FLAIR MRI.
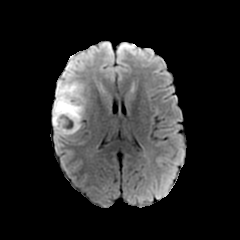
T1-weighted magnetic resonance.
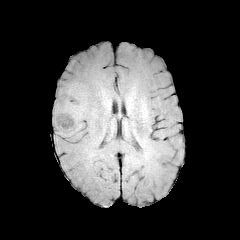
Post-contrast T1-weighted MR.
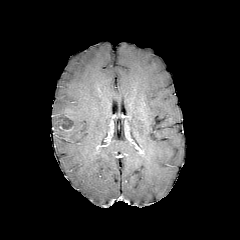
T2-weighted MRI.
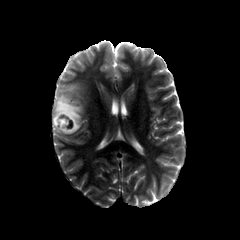
Head
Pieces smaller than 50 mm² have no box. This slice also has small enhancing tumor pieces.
• necrotic tumor core: region(59, 116, 73, 129)
• peritumoral edema: region(52, 79, 87, 137)